FLAIR magnetic resonance.
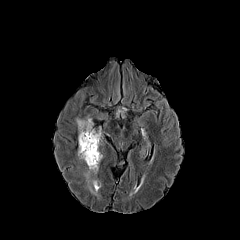
T1-weighted MRI.
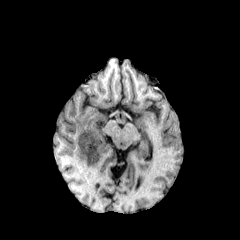
Post-contrast T1-weighted magnetic resonance.
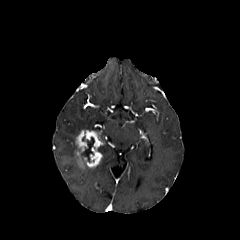
T2-weighted magnetic resonance.
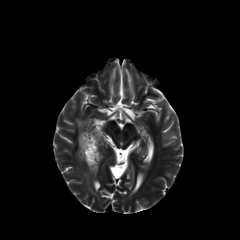
Brain. Image size 240x240.
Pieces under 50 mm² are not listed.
<segmentation>
  <necrotic_tumor_core>bbox=[81, 137, 94, 162]</necrotic_tumor_core>
  <enhancing_tumor>bbox=[76, 130, 103, 168]</enhancing_tumor>
  <peritumoral_edema>bbox=[76, 117, 99, 133]; bbox=[79, 163, 100, 194]</peritumoral_edema>
</segmentation>